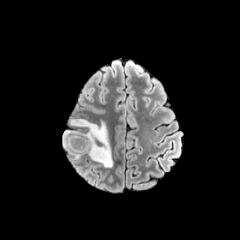
FLAIR MR.
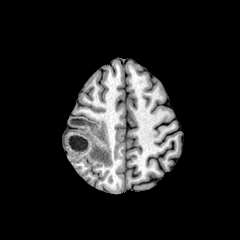
T1-weighted MR image.
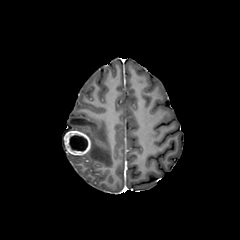
Post-contrast T1-weighted MRI.
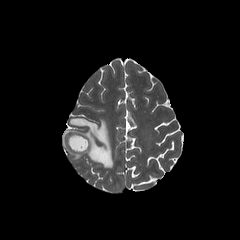
T2-weighted MR of the same slice.
Axial plane
* necrotic tumor core: 69 135 87 151
* enhancing tumor: 63 130 90 155
* peritumoral edema: 62 117 113 167